FLAIR magnetic resonance.
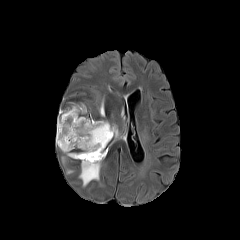
T1-weighted MR.
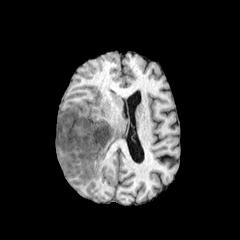
Post-contrast T1-weighted MRI.
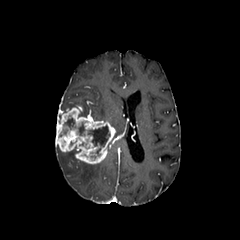
T2-weighted magnetic resonance.
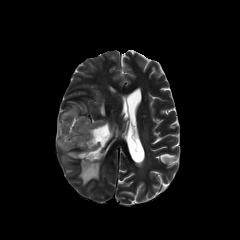
240x240 px, Brain
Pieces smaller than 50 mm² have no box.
peritumoral_edema:
  - (79, 161, 101, 186)
  - (62, 150, 75, 163)
  - (72, 103, 86, 116)
  - (111, 124, 118, 136)
  - (99, 99, 104, 116)
necrotic_tumor_core:
  - (88, 125, 109, 146)
  - (64, 118, 74, 128)
enhancing_tumor:
  - (55, 105, 115, 164)